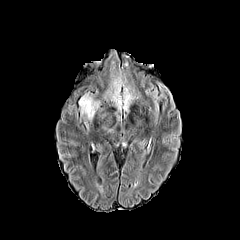
FLAIR MRI.
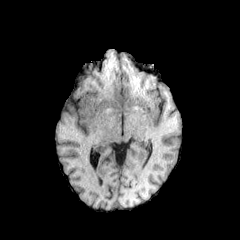
T1-weighted MRI.
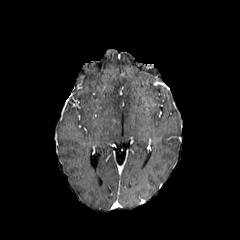
Post-contrast T1-weighted magnetic resonance of the same slice.
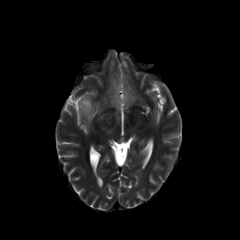
T2-weighted MRI of the same slice.
Axial plane | 240x240
peritumoral edema: l=80, t=95, r=97, b=119; l=113, t=80, r=121, b=109; l=124, t=88, r=132, b=108